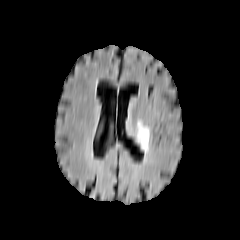
FLAIR magnetic resonance.
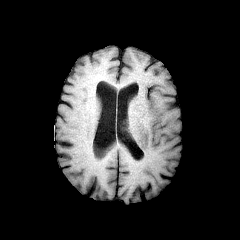
T1-weighted MRI.
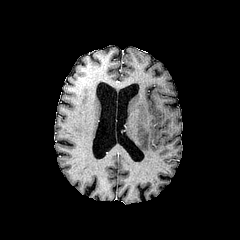
Same slice, post-contrast T1-weighted MRI.
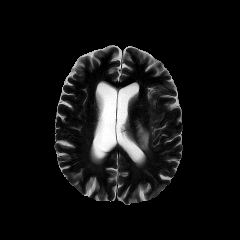
T2-weighted magnetic resonance.
Head | Axial slice
peritumoral_edema:
  - box=[136, 120, 149, 152]